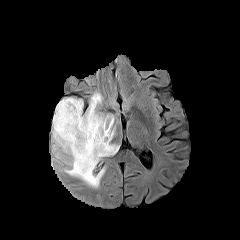
FLAIR magnetic resonance.
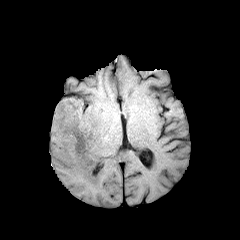
Same slice, T1-weighted MRI.
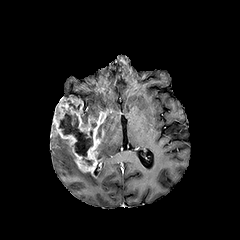
Same slice, post-contrast T1-weighted MRI.
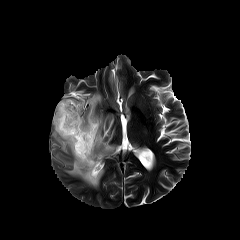
T2-weighted magnetic resonance.
Head; 240x240
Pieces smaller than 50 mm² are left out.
Findings:
* enhancing tumor: rect(52, 97, 106, 177)
* peritumoral edema: rect(98, 114, 119, 160); rect(81, 92, 102, 123); rect(53, 134, 104, 187)
* necrotic tumor core: rect(67, 100, 80, 110); rect(59, 111, 92, 165)